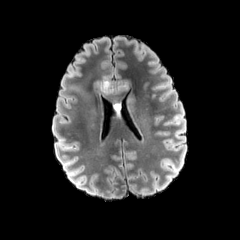
FLAIR magnetic resonance.
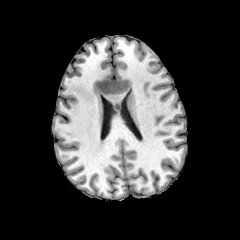
T1-weighted MR.
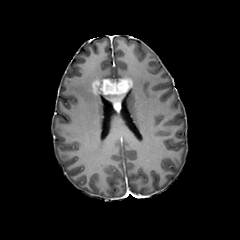
Post-contrast T1-weighted MRI.
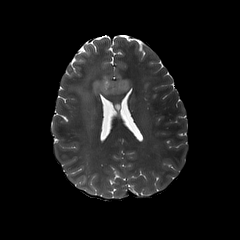
Same slice, T2-weighted magnetic resonance.
Axial slice.
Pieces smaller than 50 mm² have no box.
<segmentation>
  <peritumoral_edema><bbox>69, 63, 110, 117</bbox>, <bbox>134, 75, 143, 80</bbox></peritumoral_edema>
  <enhancing_tumor><bbox>91, 77, 132, 110</bbox></enhancing_tumor>
</segmentation>